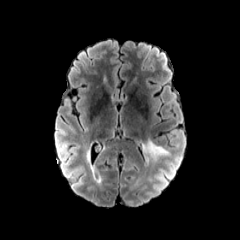
FLAIR MR.
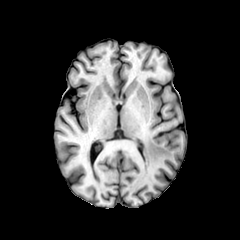
Same slice, T1-weighted MR image.
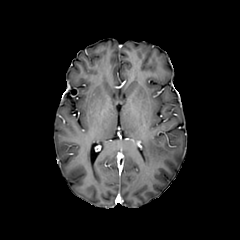
Post-contrast T1-weighted MR of the same slice.
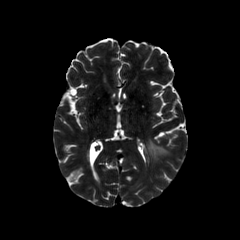
T2-weighted MR.
Image size 240x240.
<segmentation>
  <peritumoral_edema>region(143, 140, 169, 159)</peritumoral_edema>
</segmentation>